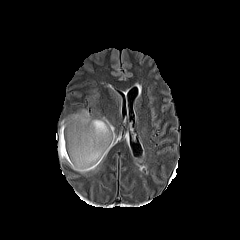
FLAIR magnetic resonance.
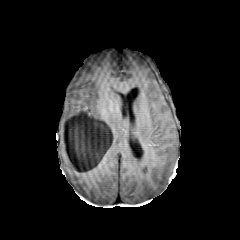
T1-weighted MR of the same slice.
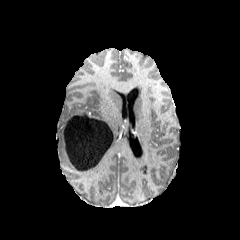
Post-contrast T1-weighted MR image.
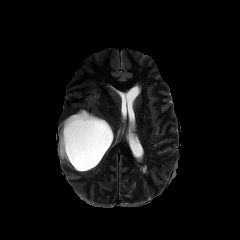
T2-weighted MRI of the same slice.
Head; Axial view
necrotic tumor core: (62,112,112,170) | peritumoral edema: (58,109,115,173)